Slice 31 of 155. Image width 240 mm. Head. Image size 240x240.
FLAIR MR.
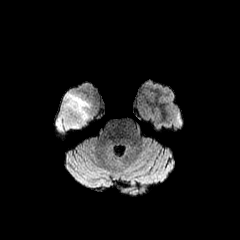
T1-weighted MRI.
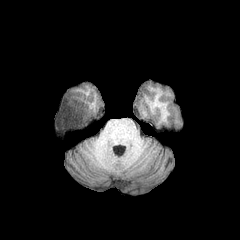
Post-contrast T1-weighted MRI.
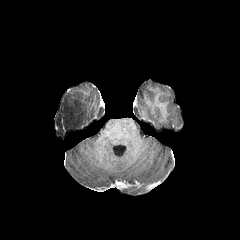
T2-weighted MR.
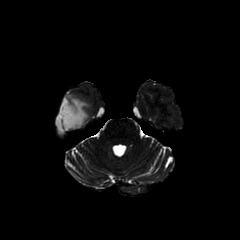
peritumoral edema = 56 93 89 136